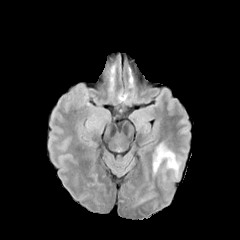
FLAIR magnetic resonance.
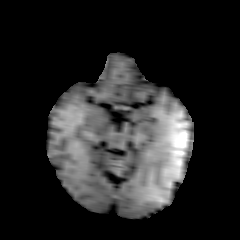
T1-weighted MR image.
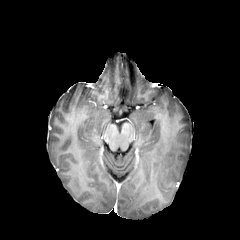
Post-contrast T1-weighted MR image.
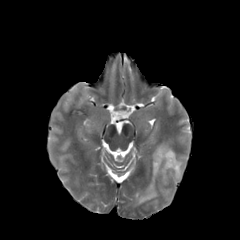
T2-weighted MR image of the same slice.
Brain; Axial view
peritumoral_edema:
  - <bbox>153, 144, 179, 174</bbox>